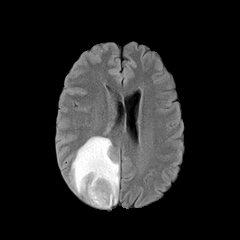
FLAIR MRI.
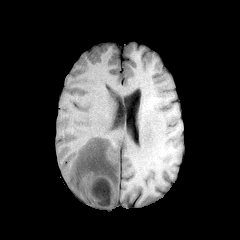
T1-weighted MR.
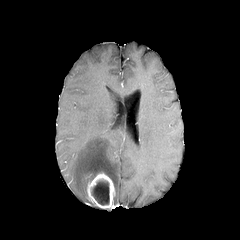
Post-contrast T1-weighted MR.
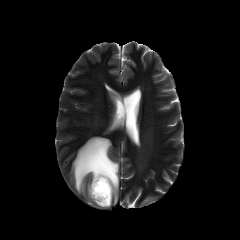
Same slice, T2-weighted magnetic resonance.
Brain; 240x240 px
peritumoral edema: (70, 136, 119, 205) | necrotic tumor core: (92, 181, 109, 205) | enhancing tumor: (87, 172, 115, 208)